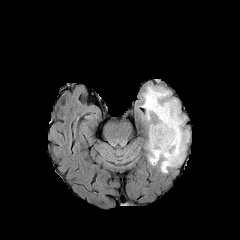
FLAIR magnetic resonance.
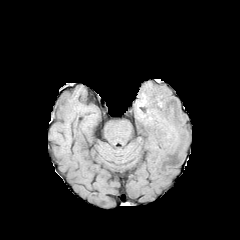
T1-weighted MRI of the same slice.
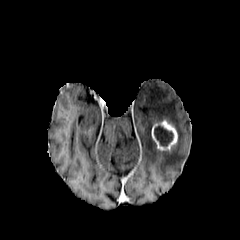
Post-contrast T1-weighted magnetic resonance.
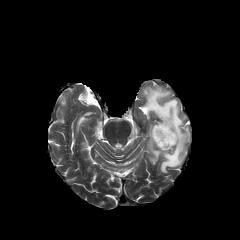
Same slice, T2-weighted magnetic resonance.
Axial plane
enhancing tumor = [150,120,177,150]
necrotic tumor core = [154,125,173,146]
peritumoral edema = [141,85,189,173]